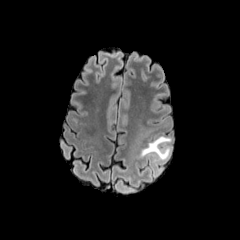
FLAIR MR image.
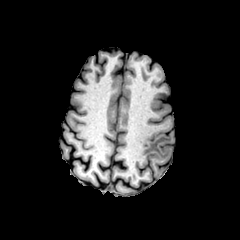
T1-weighted MRI.
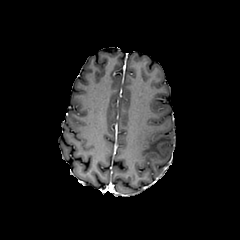
Post-contrast T1-weighted MR.
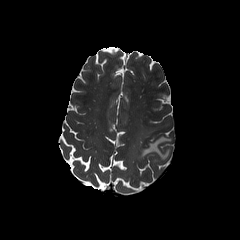
T2-weighted MR image of the same slice.
Axial view. Head.
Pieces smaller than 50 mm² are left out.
The largest peritumoral edema region is bounded by 140,136,171,161.